FLAIR MR.
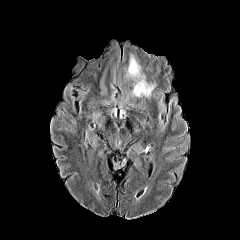
T1-weighted magnetic resonance.
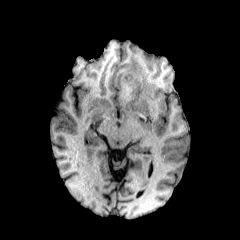
Post-contrast T1-weighted MR image.
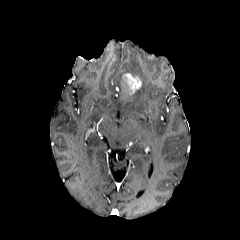
T2-weighted magnetic resonance.
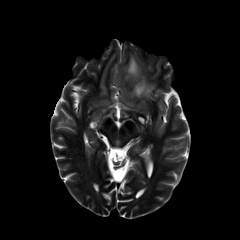
Image size 240x240. Axial slice.
<segmentation>
  <enhancing_tumor>l=123, t=73, r=141, b=94</enhancing_tumor>
  <peritumoral_edema>l=127, t=55, r=155, b=97</peritumoral_edema>
</segmentation>